Axial slice. Image size 240x240. Slice index 65.
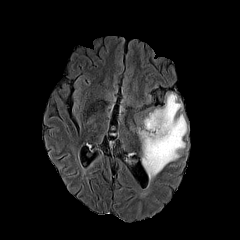
FLAIR MR image.
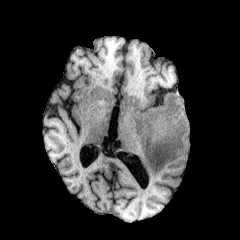
T1-weighted MR of the same slice.
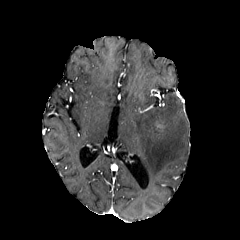
Same slice, post-contrast T1-weighted MRI.
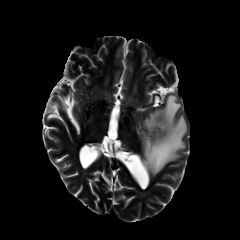
T2-weighted magnetic resonance.
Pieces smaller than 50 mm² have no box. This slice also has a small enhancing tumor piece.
- peritumoral edema: (x1=138, y1=93, x2=187, y2=179)